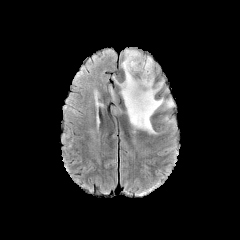
FLAIR magnetic resonance.
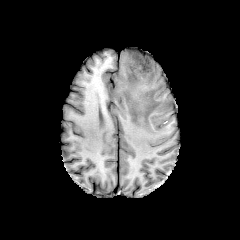
T1-weighted magnetic resonance.
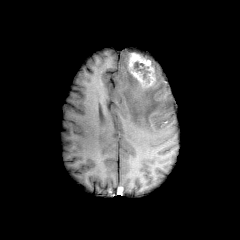
Post-contrast T1-weighted MR.
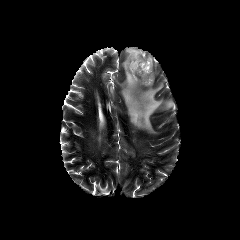
T2-weighted MR.
Brain.
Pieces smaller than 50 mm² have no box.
enhancing tumor = region(127, 52, 154, 86)
peritumoral edema = region(110, 88, 123, 115); region(111, 48, 174, 133)
necrotic tumor core = region(134, 62, 149, 79)